Axial plane; 240x240 px
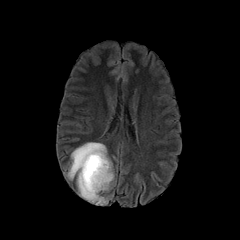
FLAIR MRI.
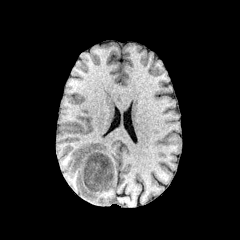
Same slice, T1-weighted MR image.
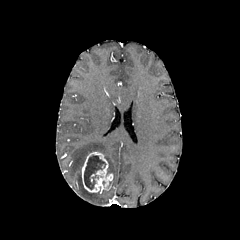
Post-contrast T1-weighted MR image.
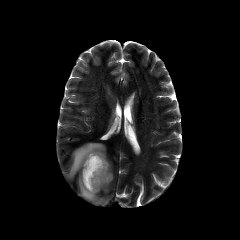
T2-weighted MR image of the same slice.
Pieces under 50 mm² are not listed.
necrotic tumor core at (84,155,105,189)
enhancing tumor at (81,151,112,192)
peritumoral edema at (67,142,114,204)